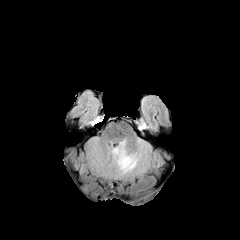
FLAIR MRI.
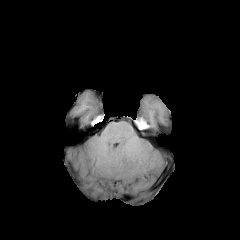
Same slice, T1-weighted magnetic resonance.
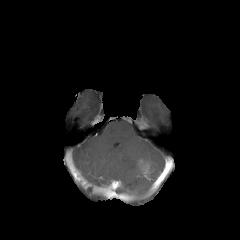
Post-contrast T1-weighted MR image of the same slice.
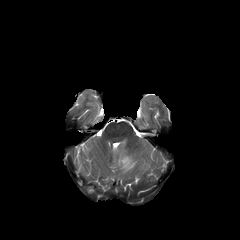
T2-weighted magnetic resonance.
Axial slice; Brain
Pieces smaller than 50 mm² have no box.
enhancing tumor: bounding box x1=138 y1=159 x2=149 y2=174
peritumoral edema: bounding box x1=110 y1=139 x2=150 y2=177